Brain, Image width 240 mm
FLAIR magnetic resonance.
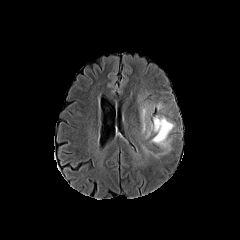
T1-weighted MR.
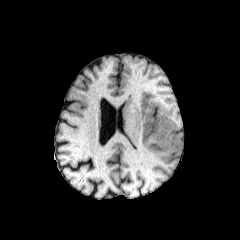
Post-contrast T1-weighted MRI.
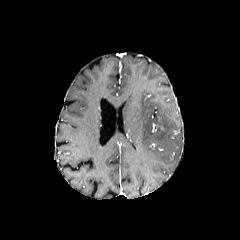
T2-weighted magnetic resonance.
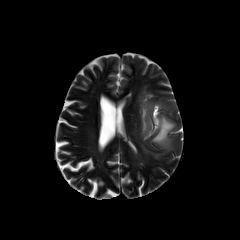
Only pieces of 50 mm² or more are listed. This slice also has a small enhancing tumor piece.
<segmentation>
  <peritumoral_edema>bbox=[152, 116, 173, 147]; bbox=[141, 106, 147, 132]</peritumoral_edema>
</segmentation>